FLAIR MR image.
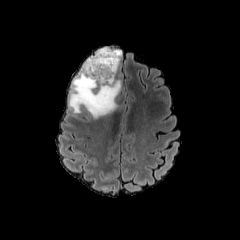
T1-weighted MRI.
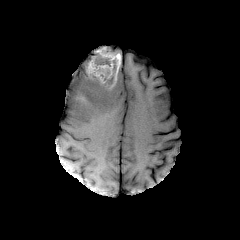
Post-contrast T1-weighted MR image.
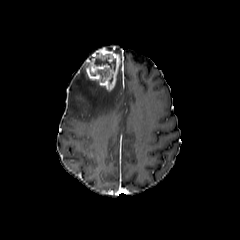
T2-weighted MRI.
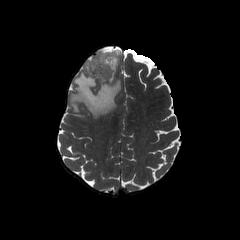
240x240, Axial view
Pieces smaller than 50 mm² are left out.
{
  "necrotic_tumor_core": [
    "(92, 57, 115, 70)",
    "(87, 61, 103, 76)"
  ],
  "peritumoral_edema": [
    "(69, 63, 121, 119)"
  ],
  "enhancing_tumor": [
    "(85, 47, 120, 91)"
  ]
}